FLAIR MR image.
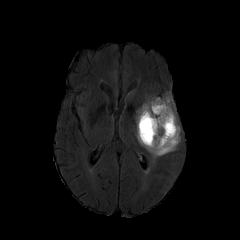
T1-weighted MRI.
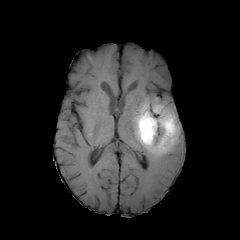
Post-contrast T1-weighted MR image.
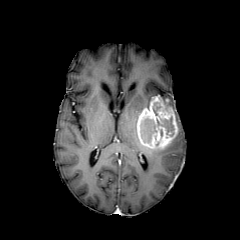
T2-weighted MR image.
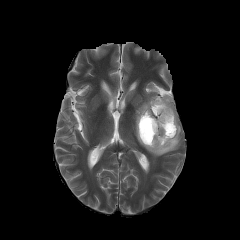
Brain
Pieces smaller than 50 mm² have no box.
Findings:
• necrotic tumor core: rect(162, 117, 174, 136); rect(141, 118, 155, 142)
• peritumoral edema: rect(135, 98, 151, 143); rect(144, 93, 180, 157)
• enhancing tumor: rect(137, 96, 178, 149)